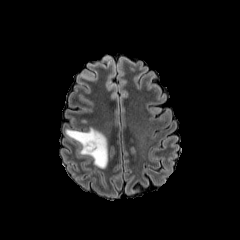
FLAIR MRI.
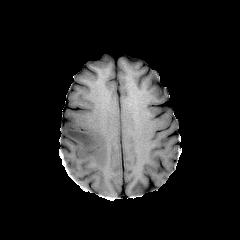
T1-weighted MR image of the same slice.
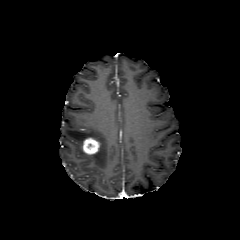
Post-contrast T1-weighted MR image.
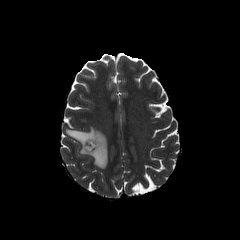
T2-weighted MRI.
Brain | 240x240 px
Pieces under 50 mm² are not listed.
{
  "peritumoral_edema": [
    "65:127:108:168"
  ],
  "enhancing_tumor": [
    "83:137:100:154"
  ]
}